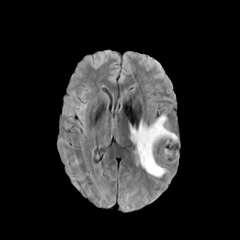
FLAIR MRI.
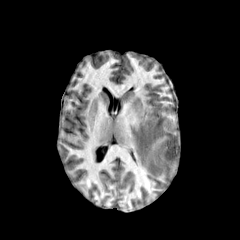
Same slice, T1-weighted MRI.
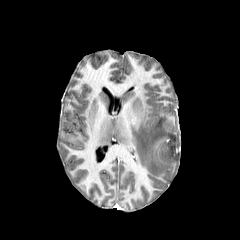
Same slice, post-contrast T1-weighted magnetic resonance.
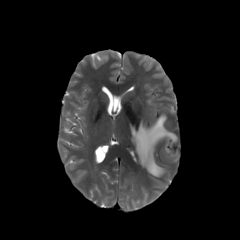
T2-weighted MR image.
Axial view. Image size 240x240. Head.
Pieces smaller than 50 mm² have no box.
peritumoral_edema:
  - (x1=130, y1=115, x2=178, y2=177)
necrotic_tumor_core:
  - (x1=165, y1=148, x2=173, y2=157)